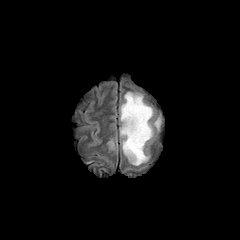
FLAIR MR image.
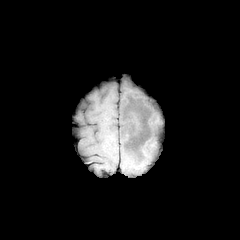
T1-weighted MR.
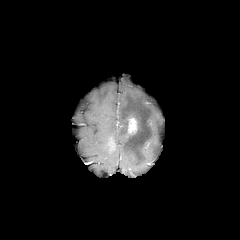
Same slice, post-contrast T1-weighted MRI.
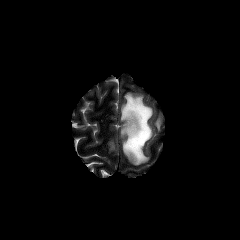
T2-weighted magnetic resonance.
Head. 240x240.
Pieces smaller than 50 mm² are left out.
enhancing tumor: bounding box left=128, top=117, right=137, bottom=134
peritumoral edema: bounding box left=120, top=92, right=153, bottom=165; left=154, top=117, right=160, bottom=130